240x240, Head, Image covers 240 mm x 240 mm
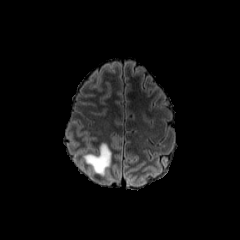
FLAIR MR.
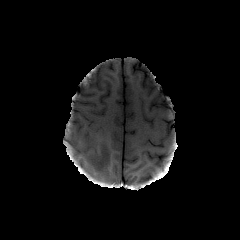
T1-weighted MR.
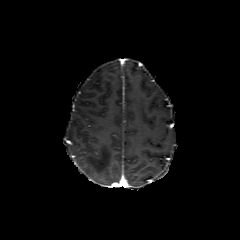
Post-contrast T1-weighted MR.
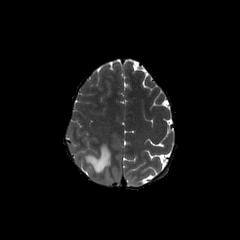
T2-weighted magnetic resonance.
<segmentation>
  <peritumoral_edema><box>84,143,111,175</box></peritumoral_edema>
</segmentation>